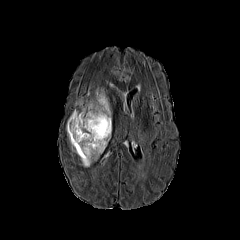
FLAIR MR image.
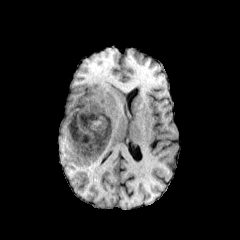
T1-weighted MRI.
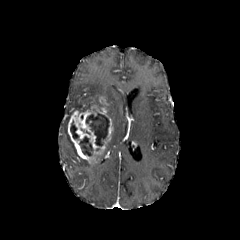
Post-contrast T1-weighted MRI of the same slice.
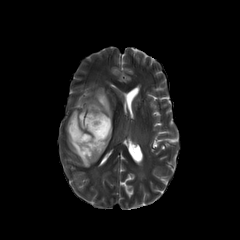
T2-weighted MR.
Head
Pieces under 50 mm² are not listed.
necrotic tumor core at region(86, 113, 109, 146); region(70, 121, 78, 138); region(79, 136, 92, 155)
peritumoral edema at region(95, 89, 108, 102); region(69, 136, 76, 152)
enhancing tumor at region(67, 96, 112, 163)